Slice 46 of 155
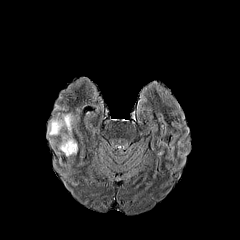
FLAIR MRI.
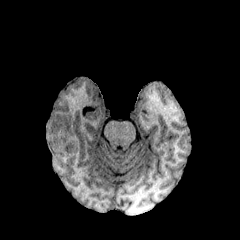
T1-weighted magnetic resonance.
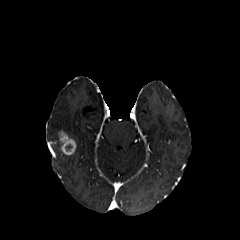
Post-contrast T1-weighted MRI of the same slice.
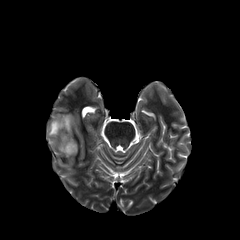
T2-weighted magnetic resonance.
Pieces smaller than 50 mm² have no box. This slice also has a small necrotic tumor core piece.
Findings:
* peritumoral edema: [47,113,73,137]
* enhancing tumor: [58,130,76,155]